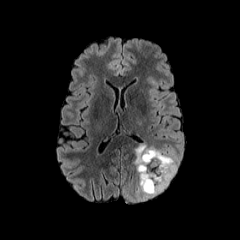
FLAIR magnetic resonance.
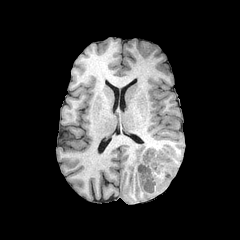
T1-weighted MRI.
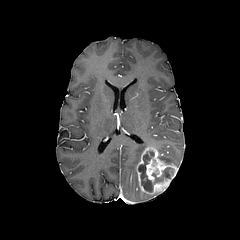
Post-contrast T1-weighted MRI.
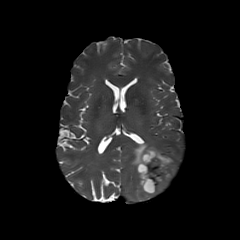
T2-weighted MR.
Head | Axial plane
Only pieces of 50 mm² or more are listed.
- necrotic tumor core: <box>138,151,173,192</box>
- enhancing tumor: <box>136,147,177,194</box>
- peritumoral edema: <box>133,143,161,200</box>, <box>157,149,177,167</box>